FLAIR MR image.
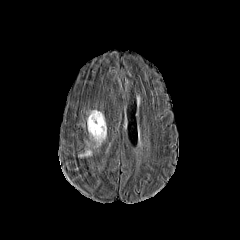
T1-weighted MRI.
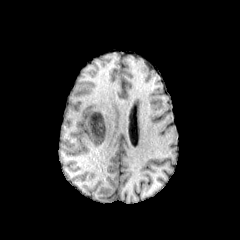
Post-contrast T1-weighted MRI.
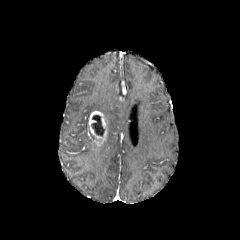
T2-weighted magnetic resonance.
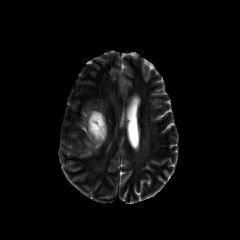
Head
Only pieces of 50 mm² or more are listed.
peritumoral_edema:
  - (79,150,91,157)
enhancing_tumor:
  - (88,111,107,146)
necrotic_tumor_core:
  - (92,115,104,136)